FLAIR MRI.
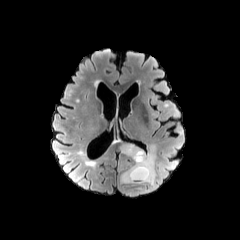
T1-weighted MRI.
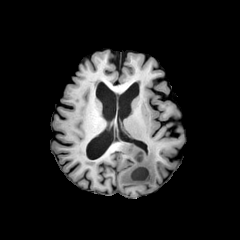
Post-contrast T1-weighted MRI.
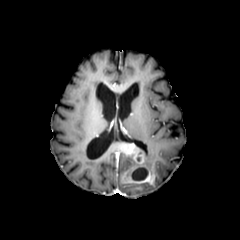
T2-weighted MR image.
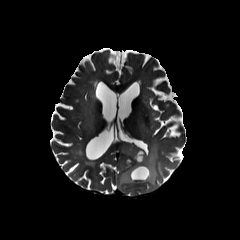
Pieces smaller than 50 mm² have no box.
necrotic tumor core: box(131, 167, 148, 180) | peritumoral edema: box(119, 143, 161, 195) | enhancing tumor: box(116, 142, 155, 186)